FLAIR magnetic resonance.
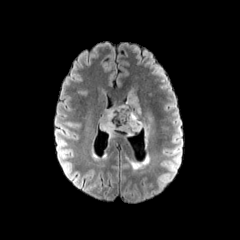
T1-weighted MR.
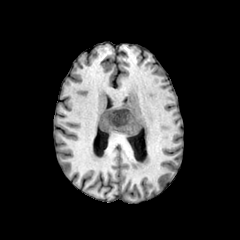
Post-contrast T1-weighted MR image.
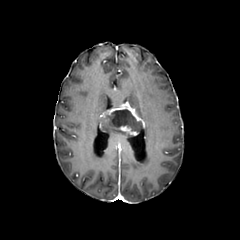
T2-weighted MRI.
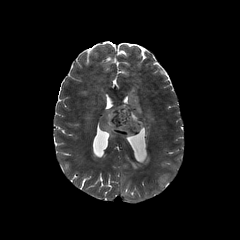
Head | Axial view
The necrotic tumor core appears at region(108, 109, 142, 131). 2 enhancing tumor regions appear at region(103, 102, 144, 128); region(109, 125, 139, 135). 3 peritumoral edema regions are located at region(99, 117, 127, 137); region(144, 122, 149, 136); region(127, 97, 144, 121).